Slice index 34 | Image width 240 mm, 1.00 mm slice spacing | Brain
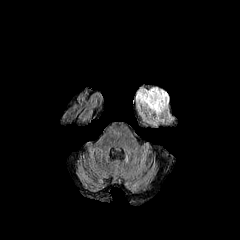
FLAIR MR.
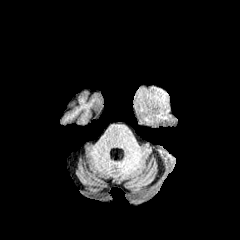
Same slice, T1-weighted MRI.
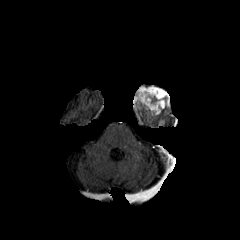
Post-contrast T1-weighted MRI of the same slice.
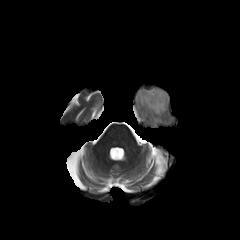
T2-weighted MRI.
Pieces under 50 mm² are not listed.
Findings:
* peritumoral edema: {"x1": 138, "y1": 107, "x2": 172, "y2": 125}
* enhancing tumor: {"x1": 134, "y1": 86, "x2": 169, "y2": 115}